FLAIR MR.
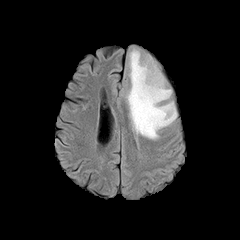
T1-weighted magnetic resonance.
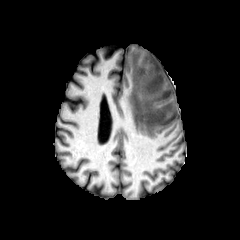
Post-contrast T1-weighted MRI.
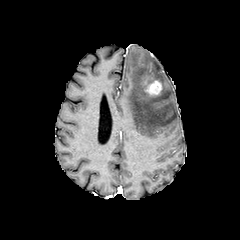
T2-weighted magnetic resonance.
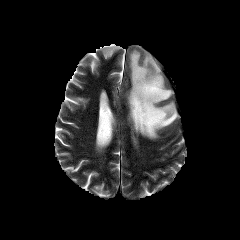
Axial view
The peritumoral edema lies within box=[126, 49, 177, 139]. The enhancing tumor is bounded by box=[143, 77, 162, 96].